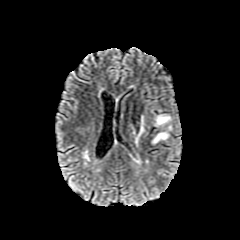
FLAIR magnetic resonance.
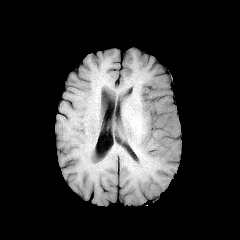
Same slice, T1-weighted MR image.
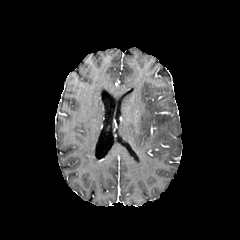
Post-contrast T1-weighted magnetic resonance.
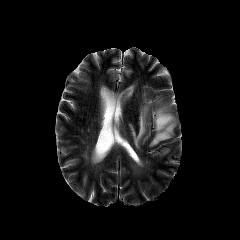
T2-weighted MR.
Axial slice
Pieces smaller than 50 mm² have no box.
Findings:
- peritumoral edema: [156, 115, 171, 126], [134, 115, 144, 146], [152, 125, 172, 144]